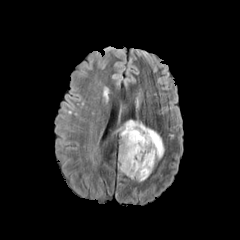
FLAIR MR.
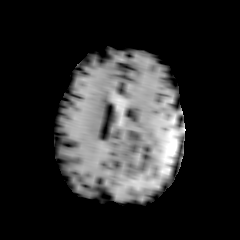
Same slice, T1-weighted MRI.
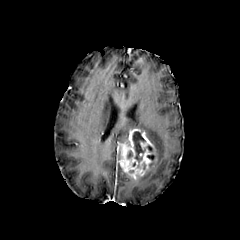
Same slice, post-contrast T1-weighted magnetic resonance.
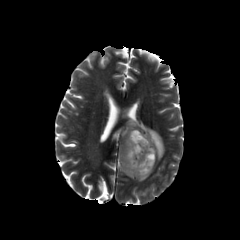
T2-weighted MRI.
Brain
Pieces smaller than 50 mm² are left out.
peritumoral edema = (119,120,164,163), (136,166,154,182)
enhancing tumor = (118,129,157,180)
necrotic tumor core = (133,131,144,161)